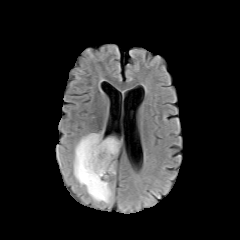
FLAIR magnetic resonance.
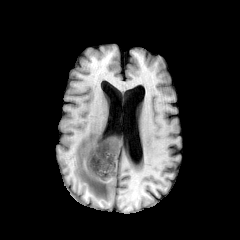
T1-weighted MRI of the same slice.
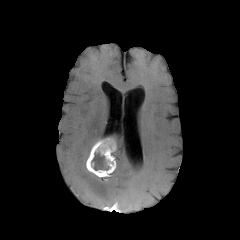
Same slice, post-contrast T1-weighted magnetic resonance.
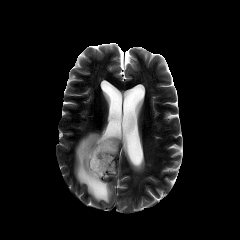
Same slice, T2-weighted MRI.
Head
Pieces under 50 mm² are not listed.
{
  "peritumoral_edema": [
    "x1=73, y1=131, x2=114, y2=206",
    "x1=110, y1=136, x2=120, y2=158"
  ],
  "enhancing_tumor": [
    "x1=86, y1=137, x2=116, y2=177"
  ],
  "necrotic_tumor_core": [
    "x1=91, y1=153, x2=110, y2=171"
  ]
}